FLAIR MR.
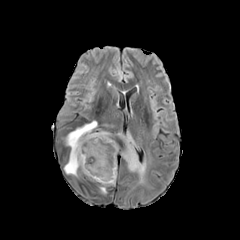
T1-weighted magnetic resonance.
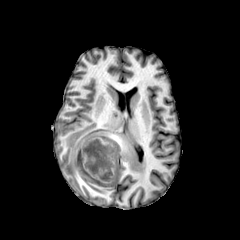
Post-contrast T1-weighted magnetic resonance.
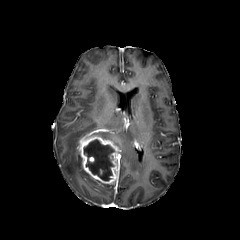
T2-weighted MR image.
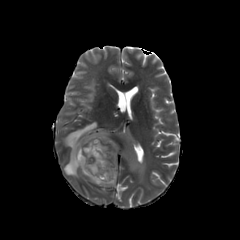
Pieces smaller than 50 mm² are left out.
{"enhancing_tumor": ["<bbox>77, 135, 119, 184</bbox>"], "peritumoral_edema": ["<bbox>64, 121, 98, 181</bbox>", "<bbox>94, 132, 111, 138</bbox>", "<bbox>100, 183, 110, 193</bbox>", "<bbox>117, 129, 146, 182</bbox>"], "necrotic_tumor_core": ["<bbox>84, 140, 114, 180</bbox>"]}